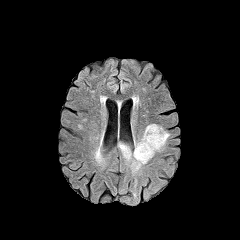
FLAIR MR.
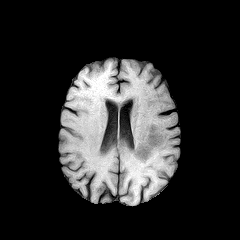
T1-weighted magnetic resonance of the same slice.
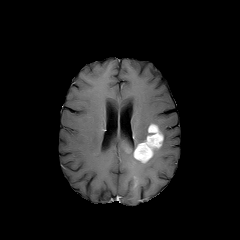
Post-contrast T1-weighted MR image.
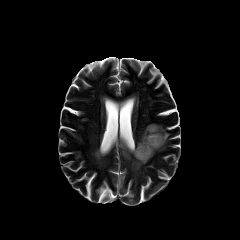
T2-weighted MR.
Axial plane | Head
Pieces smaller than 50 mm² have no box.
peritumoral_edema:
  - [134,125,149,147]
  - [131,158,144,171]
  - [154,125,169,154]
  - [118,142,133,161]
enhancing_tumor:
  - [133,124,163,163]